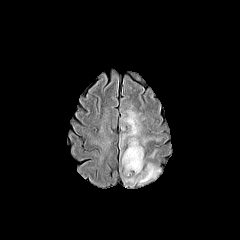
FLAIR MR image.
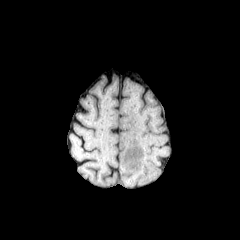
T1-weighted MRI of the same slice.
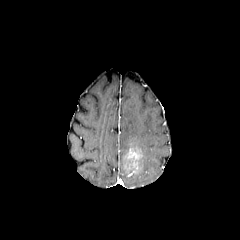
Post-contrast T1-weighted MRI of the same slice.
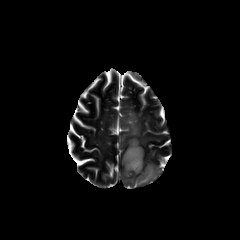
T2-weighted MRI of the same slice.
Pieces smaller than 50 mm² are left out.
The 4 largest peritumoral edema regions are located at (x1=119, y1=110, x2=143, y2=155), (x1=138, y1=162, x2=161, y2=183), (x1=141, y1=135, x2=162, y2=146), (x1=124, y1=175, x2=135, y2=183). The enhancing tumor is located at (x1=123, y1=146, x2=143, y2=174).